Axial slice
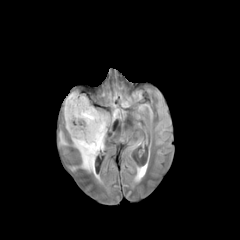
FLAIR magnetic resonance.
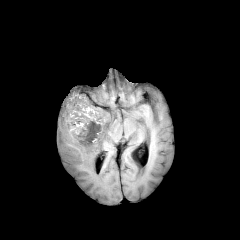
T1-weighted MRI.
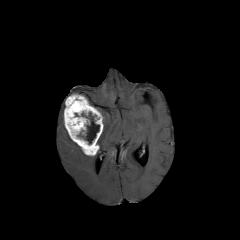
Post-contrast T1-weighted magnetic resonance.
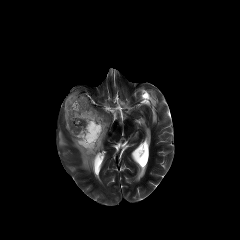
T2-weighted MRI.
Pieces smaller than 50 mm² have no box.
Annotated regions:
• necrotic tumor core: (x1=78, y1=112, x2=99, y2=144)
• enhancing tumor: (x1=64, y1=93, x2=103, y2=155)
• peritumoral edema: (x1=98, y1=113, x2=108, y2=150), (x1=59, y1=132, x2=67, y2=145), (x1=73, y1=142, x2=98, y2=173)